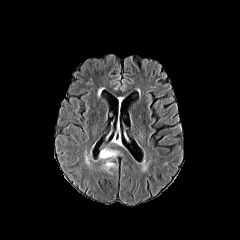
FLAIR magnetic resonance.
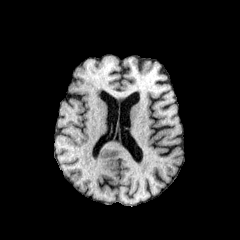
T1-weighted MRI.
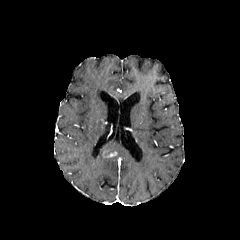
Post-contrast T1-weighted MR.
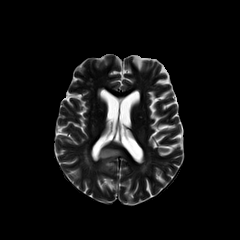
Same slice, T2-weighted MR image.
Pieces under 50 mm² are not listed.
The enhancing tumor is bounded by (left=103, top=150, right=116, bottom=157). The largest peritumoral edema region is bounded by (left=99, top=148, right=123, bottom=171).